Image width 240 mm. Image size 240x240.
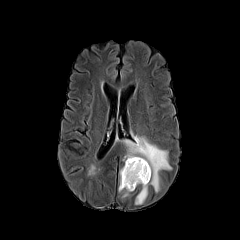
FLAIR MR.
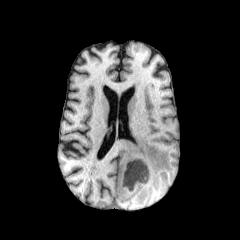
T1-weighted MR.
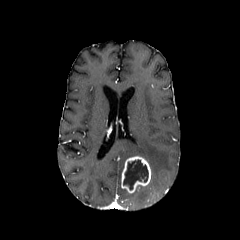
Same slice, post-contrast T1-weighted MR.
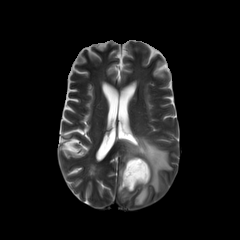
T2-weighted MR.
<segmentation>
  <enhancing_tumor>{"x1": 121, "y1": 156, "x2": 151, "y2": 193}</enhancing_tumor>
  <necrotic_tumor_core>{"x1": 123, "y1": 160, "x2": 148, "y2": 189}</necrotic_tumor_core>
  <peritumoral_edema>{"x1": 123, "y1": 135, "x2": 171, "y2": 192}, {"x1": 135, "y1": 185, "x2": 147, "y2": 204}, {"x1": 118, "y1": 167, "x2": 129, "y2": 197}</peritumoral_edema>
</segmentation>